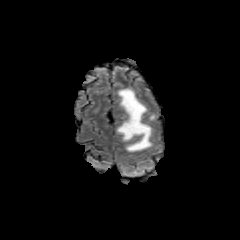
FLAIR magnetic resonance.
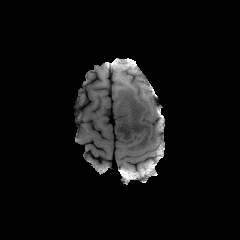
T1-weighted MR image of the same slice.
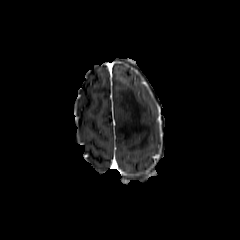
Post-contrast T1-weighted magnetic resonance of the same slice.
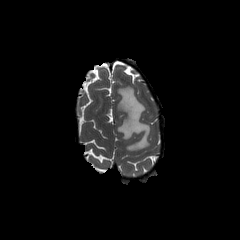
Same slice, T2-weighted magnetic resonance.
Brain
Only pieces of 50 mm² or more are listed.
peritumoral edema = (left=116, top=87, right=151, bottom=151)